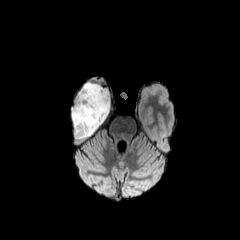
FLAIR MRI.
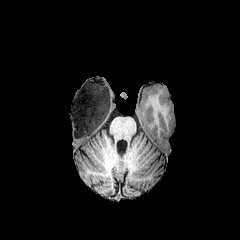
T1-weighted magnetic resonance.
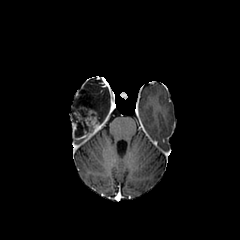
Post-contrast T1-weighted MR.
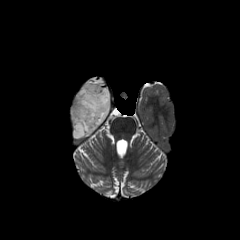
T2-weighted MR.
Axial view; Brain
Annotated regions:
- peritumoral edema: (left=71, top=82, right=110, bottom=124)
- enhancing tumor: (left=72, top=107, right=101, bottom=139)
- necrotic tumor core: (left=75, top=110, right=89, bottom=137)